Brain, Axial plane
FLAIR MR.
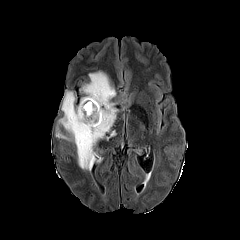
T1-weighted MRI.
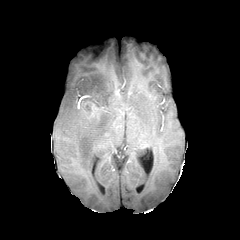
Post-contrast T1-weighted MR image.
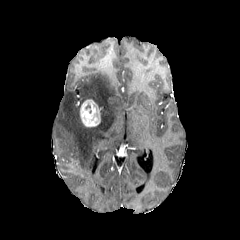
T2-weighted MR.
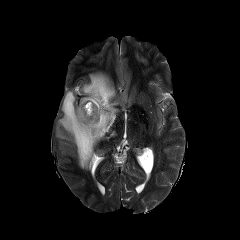
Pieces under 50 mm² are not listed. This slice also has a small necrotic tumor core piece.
<segmentation>
  <peritumoral_edema>box=[56, 71, 118, 170]</peritumoral_edema>
  <enhancing_tumor>box=[80, 99, 100, 127]</enhancing_tumor>
</segmentation>